FLAIR magnetic resonance.
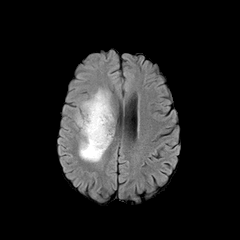
T1-weighted magnetic resonance.
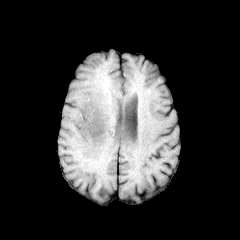
Post-contrast T1-weighted MRI.
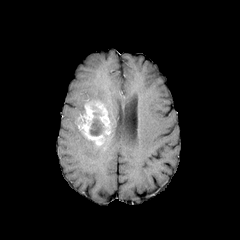
T2-weighted MR.
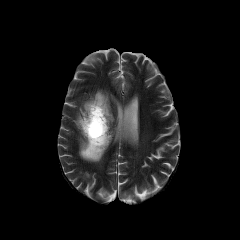
Image size 240x240.
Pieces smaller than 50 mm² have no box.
necrotic tumor core: (x1=90, y1=118, x2=103, y2=135) | enhancing tumor: (x1=77, y1=101, x2=110, y2=148) | peritumoral edema: (x1=82, y1=89, x2=113, y2=126), (x1=79, y1=127, x2=113, y2=162)